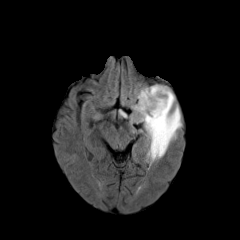
FLAIR magnetic resonance.
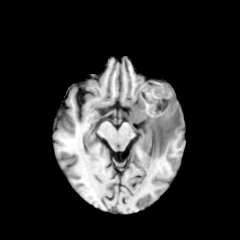
T1-weighted MR of the same slice.
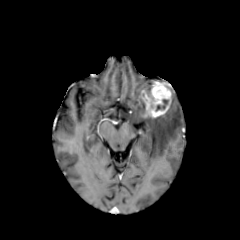
Post-contrast T1-weighted magnetic resonance of the same slice.
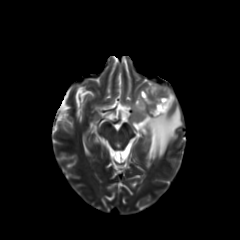
T2-weighted magnetic resonance.
240x240 | Brain
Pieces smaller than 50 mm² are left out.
The largest necrotic tumor core region lies within [155, 99, 168, 111]. 2 peritumoral edema regions are bounded by [146, 81, 154, 98], [132, 95, 182, 158]. The enhancing tumor is bounded by [140, 81, 172, 117].